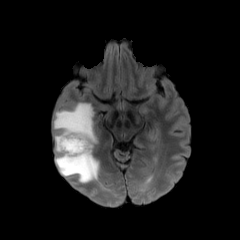
FLAIR magnetic resonance.
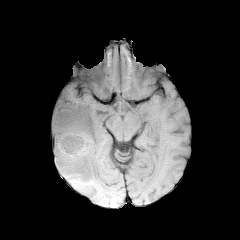
T1-weighted MR image.
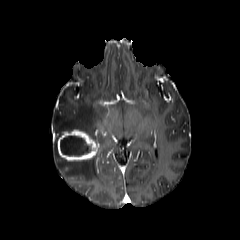
Same slice, post-contrast T1-weighted MR image.
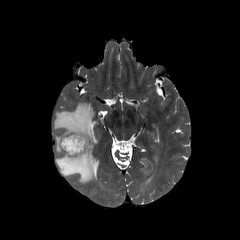
Same slice, T2-weighted MR.
Axial plane; Brain
Segmented structures:
* necrotic tumor core: (60, 136, 90, 155)
* enhancing tumor: (57, 129, 99, 161)
* peritumoral edema: (53, 102, 99, 183)